FLAIR MRI.
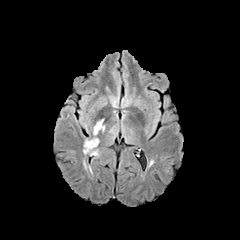
T1-weighted magnetic resonance.
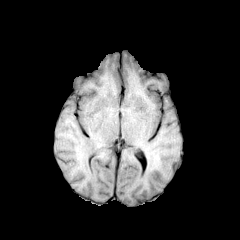
Post-contrast T1-weighted magnetic resonance.
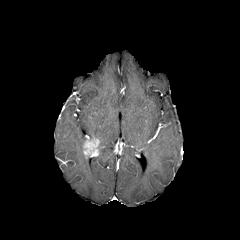
T2-weighted MR.
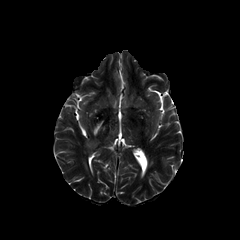
240x240, Axial view
* peritumoral edema: box=[93, 120, 104, 135]
* enhancing tumor: box=[84, 139, 99, 154]